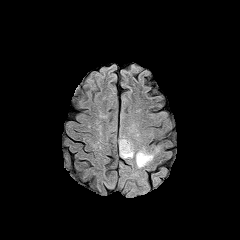
FLAIR MRI.
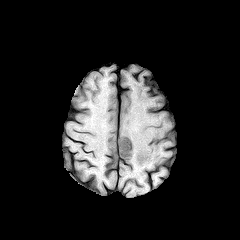
Same slice, T1-weighted MR.
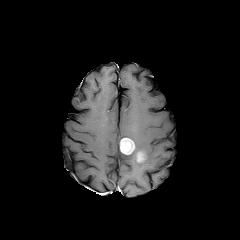
Post-contrast T1-weighted magnetic resonance.
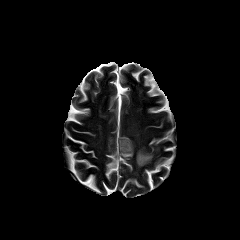
T2-weighted magnetic resonance.
Head | Axial view
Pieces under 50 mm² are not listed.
Segmented structures:
- peritumoral edema: 135,147,154,168; 120,150,134,158
- enhancing tumor: 137,152,144,162; 120,138,134,154